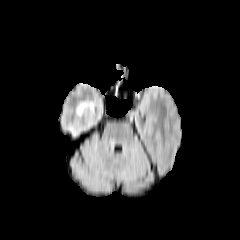
FLAIR magnetic resonance.
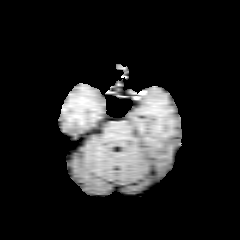
T1-weighted magnetic resonance of the same slice.
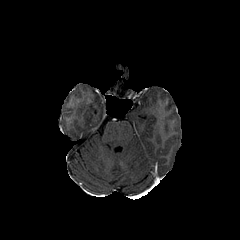
Same slice, post-contrast T1-weighted MRI.
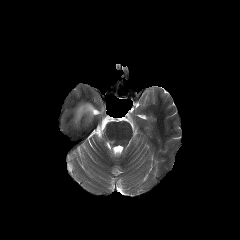
T2-weighted magnetic resonance.
Brain
<segmentation>
  <peritumoral_edema>[76,102,93,117]</peritumoral_edema>
</segmentation>